Image covers 240 mm x 240 mm
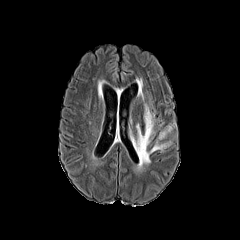
FLAIR MRI.
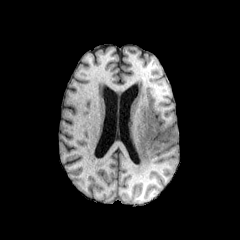
T1-weighted MR.
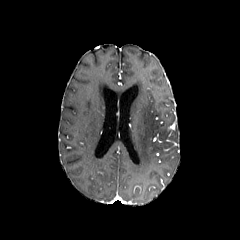
Post-contrast T1-weighted MR image.
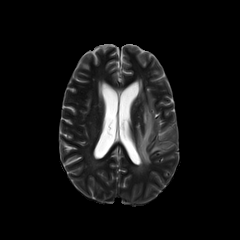
T2-weighted MRI.
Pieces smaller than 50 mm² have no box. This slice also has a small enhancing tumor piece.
2 peritumoral edema regions are located at <box>159,125,170,139</box>, <box>136,104,170,170</box>.